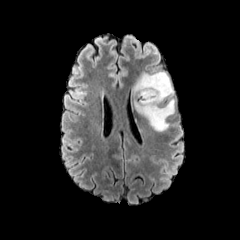
FLAIR MR.
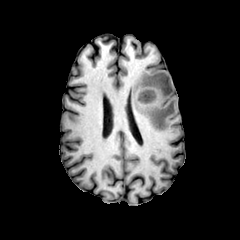
Same slice, T1-weighted MR image.
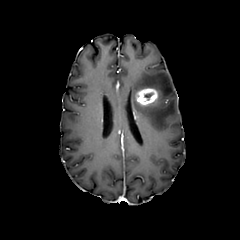
Post-contrast T1-weighted magnetic resonance.
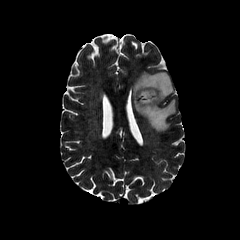
Same slice, T2-weighted MR image.
240x240, Head
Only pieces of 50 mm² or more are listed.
peritumoral_edema:
  - 132,71,175,131
necrotic_tumor_core:
  - 142,91,154,102
enhancing_tumor:
  - 136,87,158,105